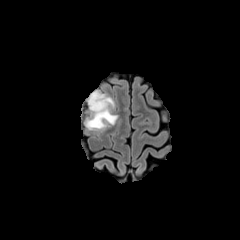
FLAIR MRI.
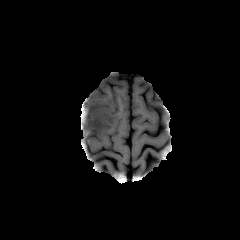
Same slice, T1-weighted magnetic resonance.
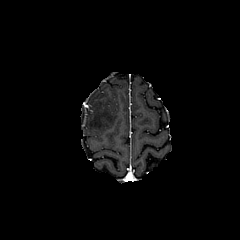
Post-contrast T1-weighted magnetic resonance of the same slice.
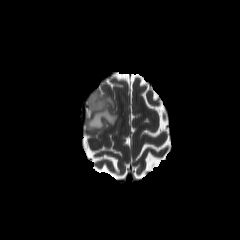
T2-weighted magnetic resonance.
Brain.
<segmentation>
  <peritumoral_edema>84:90:117:130</peritumoral_edema>
</segmentation>